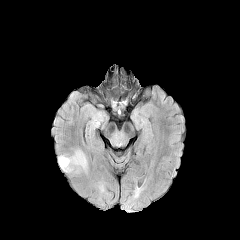
FLAIR MRI.
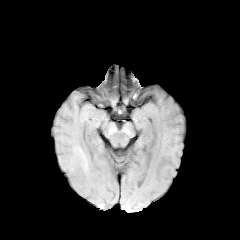
T1-weighted magnetic resonance.
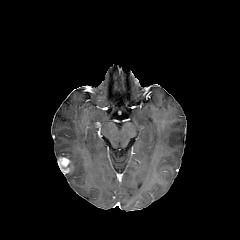
Post-contrast T1-weighted magnetic resonance.
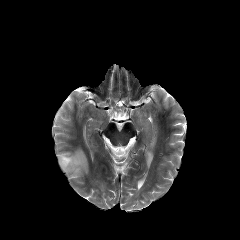
Same slice, T2-weighted magnetic resonance.
240x240 px
peritumoral edema — <bbox>58, 149, 87, 174</bbox>
enhancing tumor — <bbox>58, 157, 70, 172</bbox>